Brain, Image covers 240 mm x 240 mm, Slice 130 of 155, 240x240 px
FLAIR magnetic resonance.
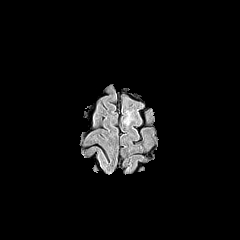
T1-weighted magnetic resonance.
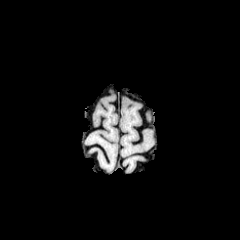
Post-contrast T1-weighted MRI.
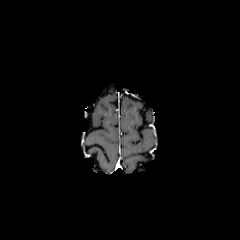
T2-weighted MR.
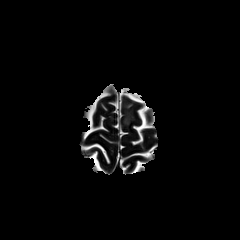
Annotated regions:
• peritumoral edema: box=[124, 112, 131, 124]